Slice 119/155. 240x240. Brain.
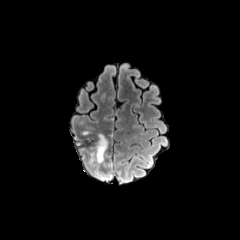
FLAIR magnetic resonance.
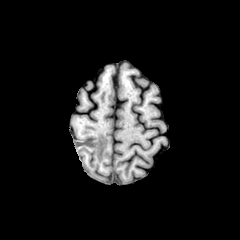
T1-weighted magnetic resonance.
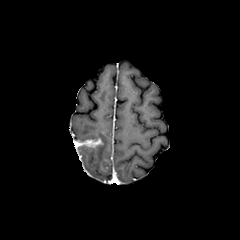
Post-contrast T1-weighted MRI of the same slice.
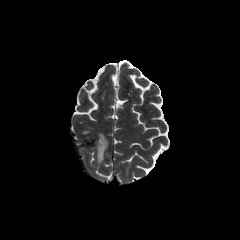
T2-weighted magnetic resonance of the same slice.
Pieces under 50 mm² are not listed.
Segmented structures:
- peritumoral edema: left=95, top=134, right=107, bottom=162
- enhancing tumor: left=75, top=139, right=102, bottom=146